FLAIR MR.
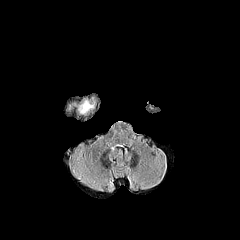
T1-weighted MRI.
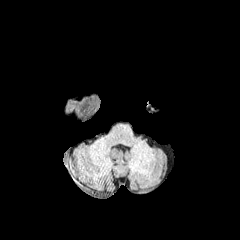
Post-contrast T1-weighted MR image.
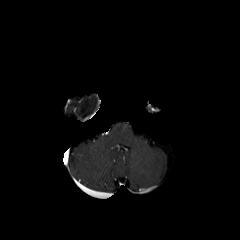
T2-weighted MRI.
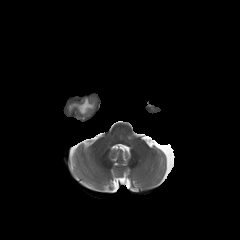
Head | Axial plane
The peritumoral edema is bounded by 79, 100, 93, 112.